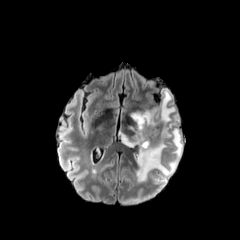
FLAIR MR.
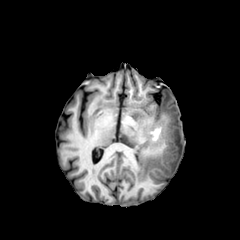
T1-weighted magnetic resonance.
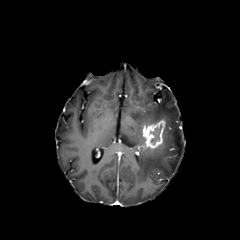
Post-contrast T1-weighted MRI.
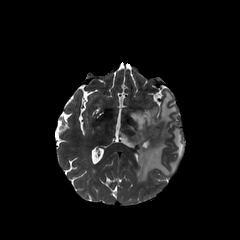
T2-weighted MR of the same slice.
Axial plane
Findings:
• enhancing tumor: 138, 119, 165, 149
• necrotic tumor core: 150, 125, 161, 143
• peritumoral edema: 121, 90, 183, 182